FLAIR MR image.
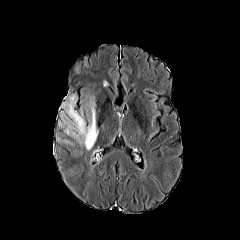
T1-weighted MR.
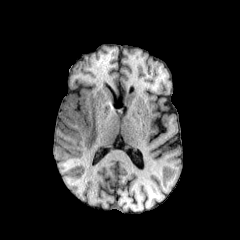
Post-contrast T1-weighted magnetic resonance.
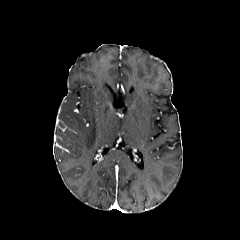
T2-weighted MR image.
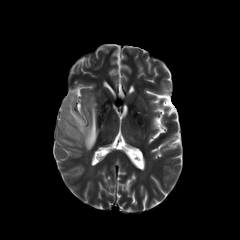
Head
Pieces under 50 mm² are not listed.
The 2 largest peritumoral edema regions are located at box=[59, 91, 98, 150]; box=[83, 56, 88, 69].